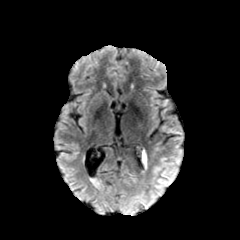
FLAIR magnetic resonance.
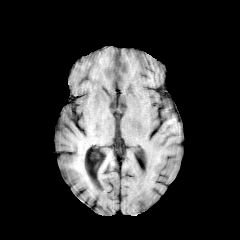
T1-weighted magnetic resonance.
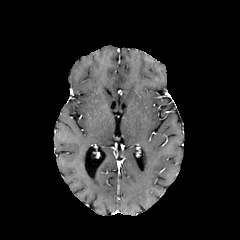
Same slice, post-contrast T1-weighted MRI.
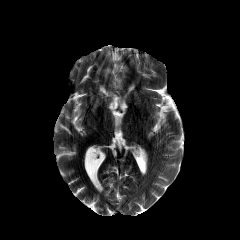
T2-weighted MRI of the same slice.
Head
peritumoral edema at left=142, top=151, right=147, bottom=165